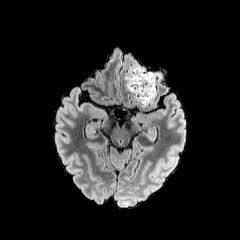
FLAIR MR image.
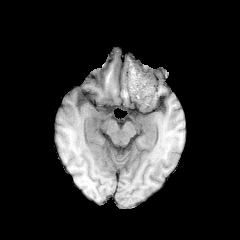
T1-weighted MR of the same slice.
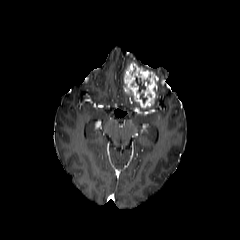
Same slice, post-contrast T1-weighted MR image.
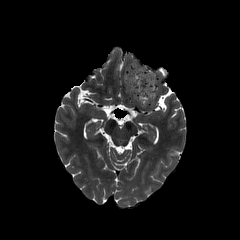
Same slice, T2-weighted magnetic resonance.
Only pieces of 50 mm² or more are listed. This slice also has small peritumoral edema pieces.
{
  "necrotic_tumor_core": [
    "[135, 77, 145, 92]"
  ],
  "enhancing_tumor": [
    "[123, 62, 156, 108]"
  ]
}